Head
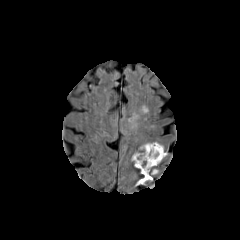
FLAIR MR image.
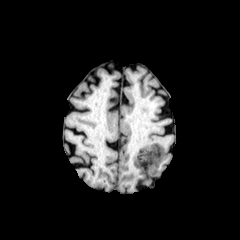
Same slice, T1-weighted MRI.
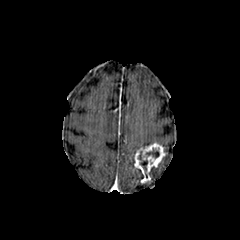
Same slice, post-contrast T1-weighted MR.
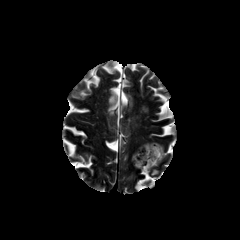
T2-weighted MR.
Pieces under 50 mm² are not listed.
The largest necrotic tumor core region is located at {"x1": 146, "y1": 150, "x2": 159, "y2": 157}. The enhancing tumor is located at {"x1": 134, "y1": 143, "x2": 166, "y2": 183}. The largest peritumoral edema region is located at {"x1": 150, "y1": 167, "x2": 158, "y2": 181}.